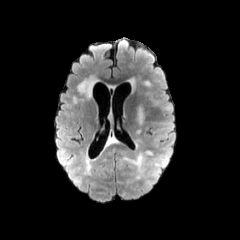
FLAIR MRI.
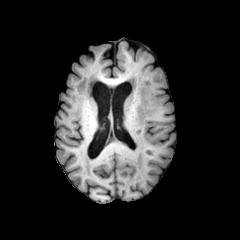
T1-weighted MR image.
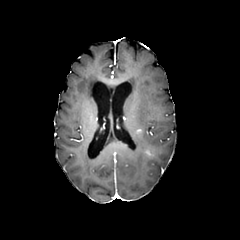
Post-contrast T1-weighted magnetic resonance.
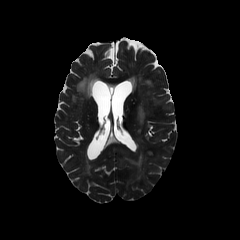
T2-weighted MR image.
Head | Axial view | Image size 240x240
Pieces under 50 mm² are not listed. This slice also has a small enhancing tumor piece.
peritumoral edema at 124 154 143 171, 138 105 145 124